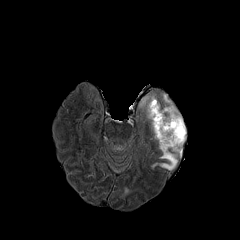
FLAIR magnetic resonance.
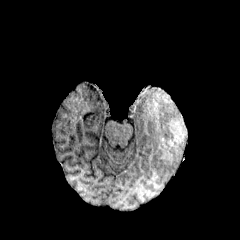
T1-weighted magnetic resonance.
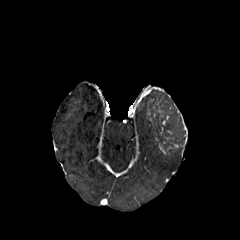
Post-contrast T1-weighted MR of the same slice.
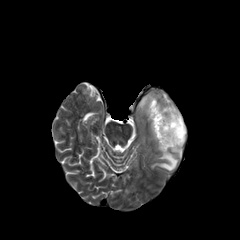
Same slice, T2-weighted MR.
Axial slice, Brain
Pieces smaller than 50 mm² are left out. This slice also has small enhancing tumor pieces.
Findings:
• peritumoral edema: [151,146,182,170], [162,94,176,113]
• necrotic tumor core: [149,101,185,151]